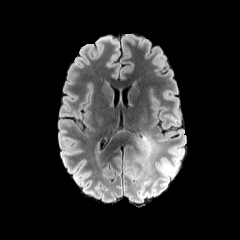
FLAIR MRI.
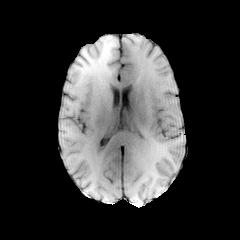
Same slice, T1-weighted magnetic resonance.
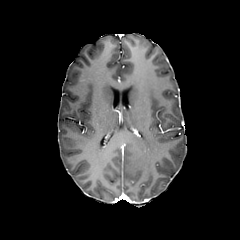
Post-contrast T1-weighted MR image of the same slice.
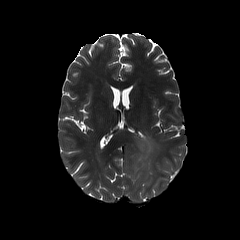
Same slice, T2-weighted MR.
Axial view, Brain
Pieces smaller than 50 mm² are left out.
Findings:
• peritumoral edema: region(157, 160, 175, 174); region(125, 136, 154, 179)